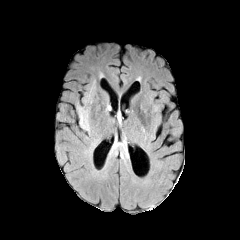
FLAIR magnetic resonance.
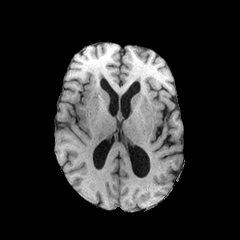
T1-weighted MR of the same slice.
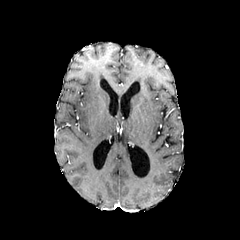
Post-contrast T1-weighted MRI.
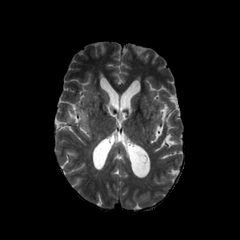
T2-weighted MR image of the same slice.
The peritumoral edema lies within (left=78, top=107, right=89, bottom=130).